FLAIR MRI.
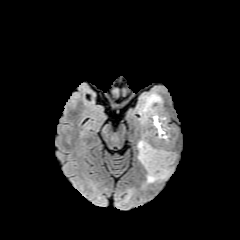
T1-weighted MRI.
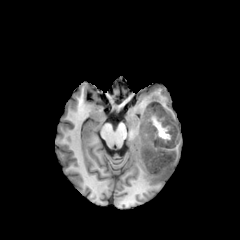
Post-contrast T1-weighted MR image.
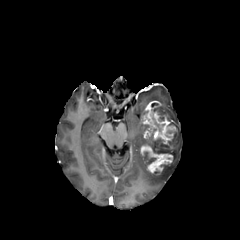
T2-weighted MR.
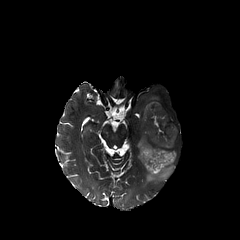
Brain
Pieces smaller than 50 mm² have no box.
The 2 largest enhancing tumor regions are located at 140:144:173:174, 142:101:176:143. The 2 largest peritumoral edema regions are located at 140:94:160:114, 137:136:175:183. The 4 largest necrotic tumor core regions appear at 151:103:169:121, 144:128:175:154, 152:117:164:133, 144:151:156:164.